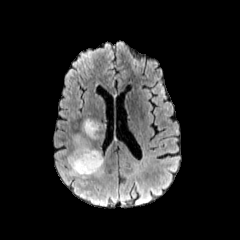
FLAIR MR image.
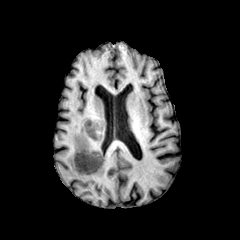
T1-weighted MR.
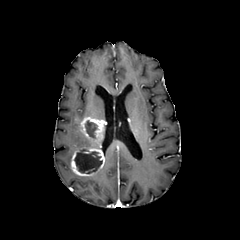
Post-contrast T1-weighted MR.
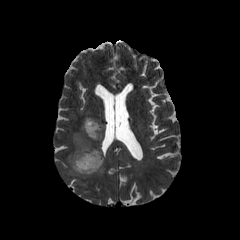
T2-weighted magnetic resonance.
Axial plane
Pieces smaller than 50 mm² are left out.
enhancing tumor: <bbox>71, 117, 105, 176</bbox> | peritumoral edema: <bbox>74, 135, 88, 151</bbox>, <bbox>68, 152, 89, 178</bbox> | necrotic tumor core: <bbox>85, 120, 97, 137</bbox>, <bbox>74, 149, 102, 173</bbox>